FLAIR MRI.
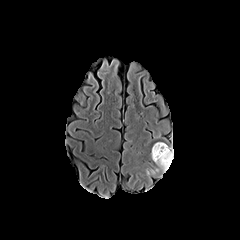
T1-weighted MRI.
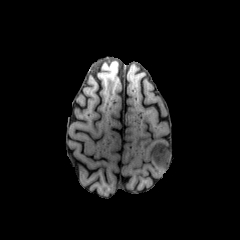
Post-contrast T1-weighted MR.
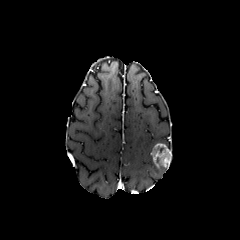
T2-weighted MRI.
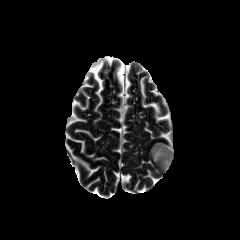
240x240
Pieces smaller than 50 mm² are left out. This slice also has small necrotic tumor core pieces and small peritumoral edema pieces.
enhancing tumor: [x1=151, y1=143, x2=172, y2=168]